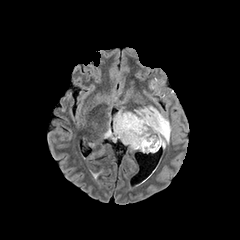
FLAIR MR.
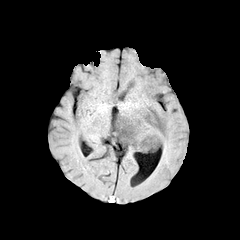
Same slice, T1-weighted MR image.
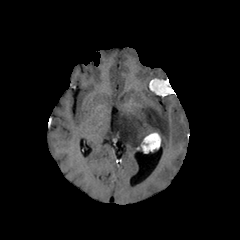
Same slice, post-contrast T1-weighted MR image.
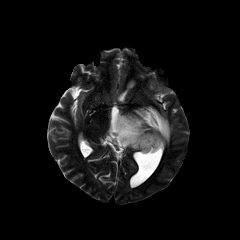
T2-weighted magnetic resonance.
Axial plane.
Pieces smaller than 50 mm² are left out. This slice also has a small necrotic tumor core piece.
enhancing tumor at l=141, t=132, r=161, b=153
peritumoral edema at l=104, t=106, r=171, b=150